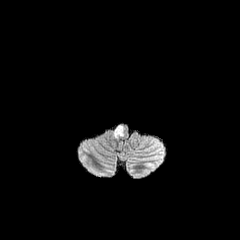
FLAIR MR image.
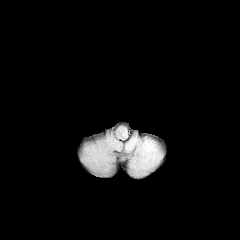
Same slice, T1-weighted MRI.
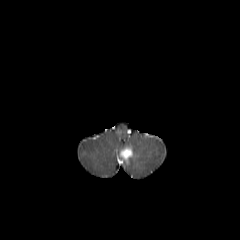
Same slice, post-contrast T1-weighted magnetic resonance.
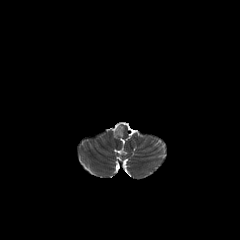
T2-weighted MR.
Brain, Axial view
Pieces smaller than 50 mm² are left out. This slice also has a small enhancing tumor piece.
The peritumoral edema appears at (left=114, top=125, right=124, bottom=138).